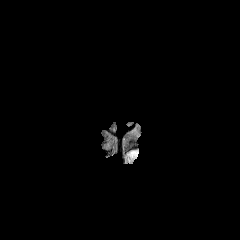
FLAIR MR.
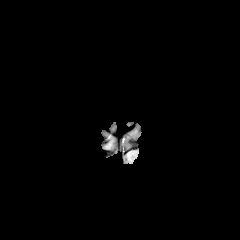
Same slice, T1-weighted MR.
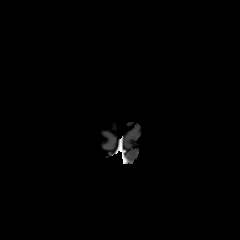
Post-contrast T1-weighted magnetic resonance.
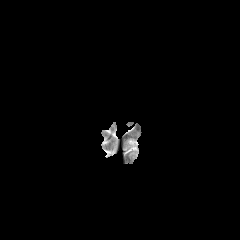
T2-weighted MR image.
Image size 240x240
Segmented structures:
* peritumoral edema: l=125, t=149, r=138, b=163